Image covers 240 mm x 240 mm, Image size 240x240
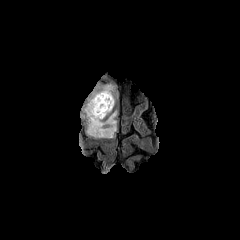
FLAIR MRI.
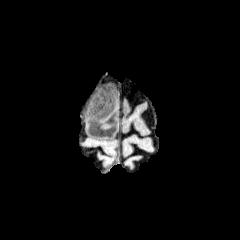
T1-weighted magnetic resonance.
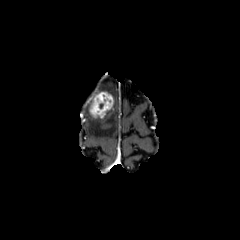
Post-contrast T1-weighted MR.
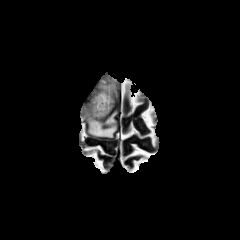
T2-weighted MR of the same slice.
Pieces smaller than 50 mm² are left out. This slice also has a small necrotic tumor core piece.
The enhancing tumor is located at box(89, 91, 113, 118). 2 peritumoral edema regions are located at box(85, 101, 117, 138); box(99, 84, 117, 107).